FLAIR MR.
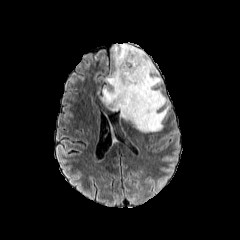
T1-weighted MR image.
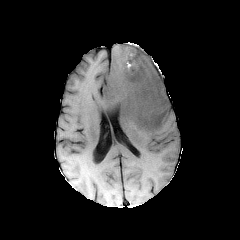
Post-contrast T1-weighted magnetic resonance.
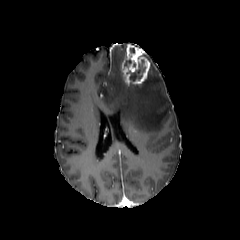
T2-weighted MR.
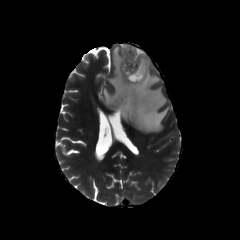
Axial plane; Brain
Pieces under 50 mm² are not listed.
peritumoral edema: bbox=[102, 43, 169, 132] | enhancing tumor: bbox=[121, 44, 150, 86] | necrotic tumor core: bbox=[130, 59, 145, 80]